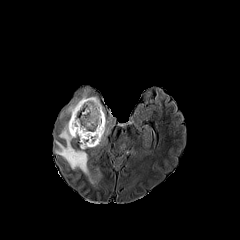
FLAIR magnetic resonance.
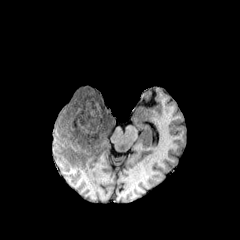
T1-weighted magnetic resonance.
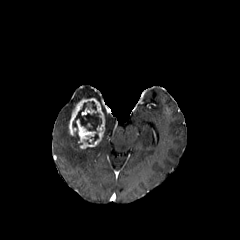
Post-contrast T1-weighted magnetic resonance of the same slice.
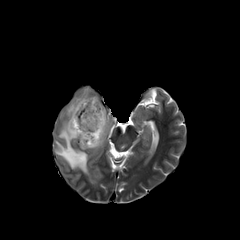
T2-weighted magnetic resonance.
Head
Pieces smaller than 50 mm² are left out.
necrotic tumor core: bounding box 73:103:101:131
enhancing tumor: bounding box 68:98:105:148
peritumoral edema: bounding box 60:87:98:118, 96:116:113:146, 55:119:103:183